Slice index 36
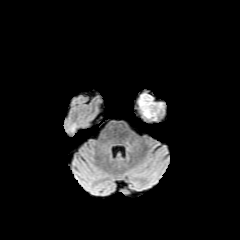
FLAIR magnetic resonance.
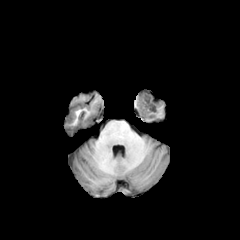
T1-weighted MR image.
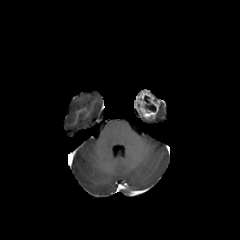
Same slice, post-contrast T1-weighted MR.
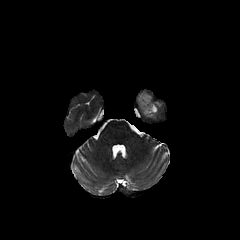
T2-weighted MRI.
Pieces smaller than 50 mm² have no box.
necrotic_tumor_core:
  - bbox=[144, 96, 156, 111]
enhancing_tumor:
  - bbox=[135, 90, 160, 118]